FLAIR MR.
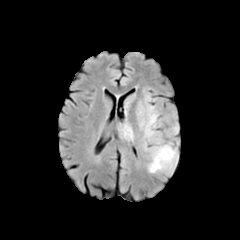
T1-weighted MRI.
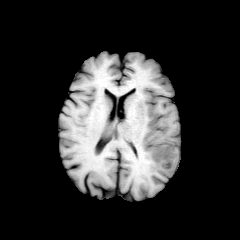
Post-contrast T1-weighted MR image.
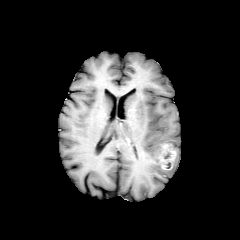
T2-weighted MR.
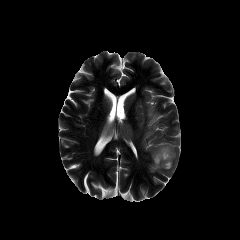
Image size 240x240. Head.
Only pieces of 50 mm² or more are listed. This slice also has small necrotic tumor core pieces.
{
  "enhancing_tumor": [
    "bbox(155, 144, 176, 169)"
  ],
  "peritumoral_edema": [
    "bbox(148, 141, 178, 174)",
    "bbox(140, 94, 158, 140)"
  ]
}